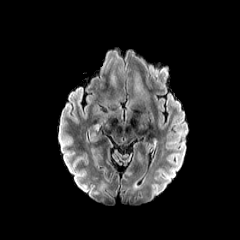
FLAIR MR.
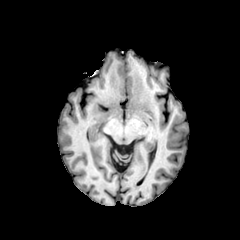
Same slice, T1-weighted MR.
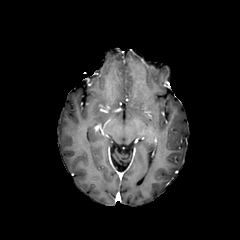
Same slice, post-contrast T1-weighted magnetic resonance.
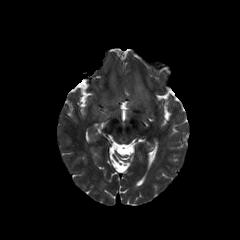
T2-weighted MR image of the same slice.
Head
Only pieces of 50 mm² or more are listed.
peritumoral edema: bounding box region(135, 77, 148, 96)